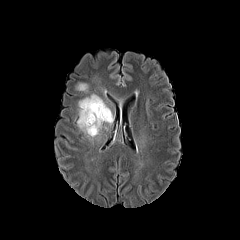
FLAIR MRI.
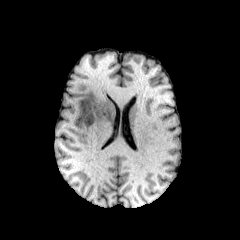
Same slice, T1-weighted MR image.
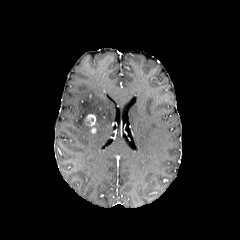
Same slice, post-contrast T1-weighted MR image.
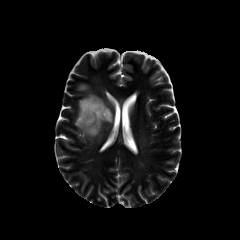
T2-weighted MRI.
Head
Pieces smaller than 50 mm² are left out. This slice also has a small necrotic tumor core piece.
{
  "peritumoral_edema": [
    "(77,94,113,140)",
    "(77,83,87,91)"
  ],
  "enhancing_tumor": [
    "(85,114,95,126)"
  ]
}